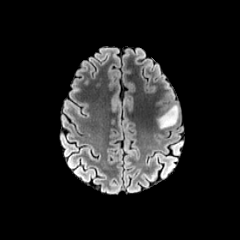
FLAIR magnetic resonance.
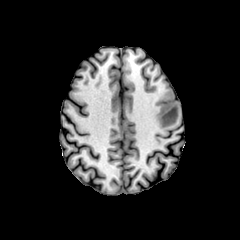
Same slice, T1-weighted magnetic resonance.
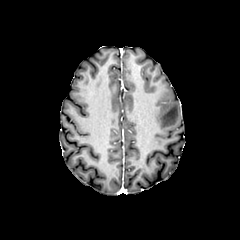
Same slice, post-contrast T1-weighted MR image.
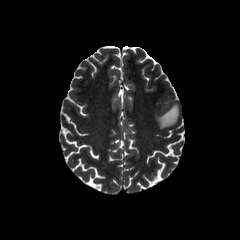
Same slice, T2-weighted magnetic resonance.
Axial slice
The peritumoral edema is bounded by box=[157, 104, 179, 129].